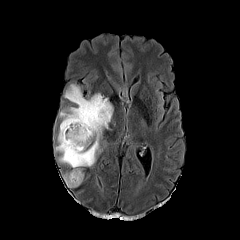
FLAIR MRI.
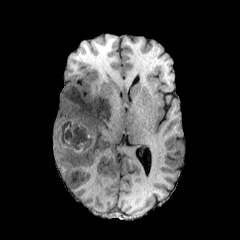
Same slice, T1-weighted magnetic resonance.
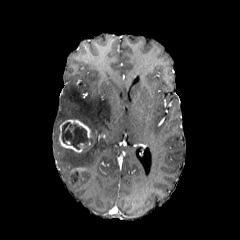
Post-contrast T1-weighted MR image.
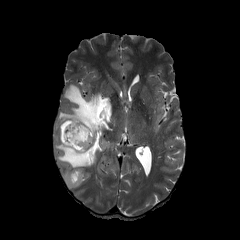
T2-weighted MRI.
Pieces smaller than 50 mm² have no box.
peritumoral_edema:
  - [63,171,83,187]
  - [54,84,114,169]
necrotic_tumor_core:
  - [61,122,91,149]
enhancing_tumor:
  - [59,119,90,152]